Axial plane
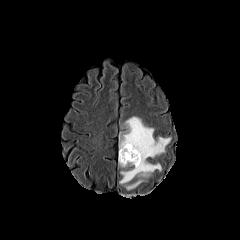
FLAIR MRI.
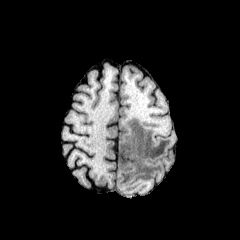
T1-weighted MR image of the same slice.
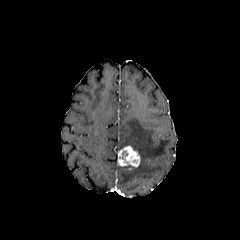
Post-contrast T1-weighted MR.
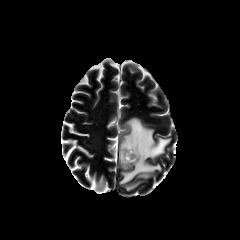
Same slice, T2-weighted MR.
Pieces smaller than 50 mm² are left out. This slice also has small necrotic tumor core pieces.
The enhancing tumor is bounded by [118, 145, 140, 167]. The largest peritumoral edema region is located at [119, 116, 171, 190].